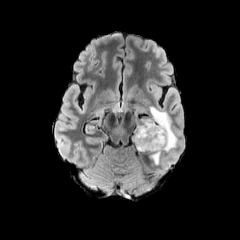
FLAIR magnetic resonance.
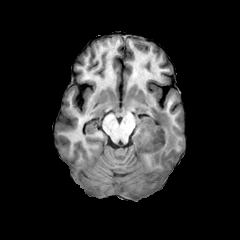
T1-weighted MR image.
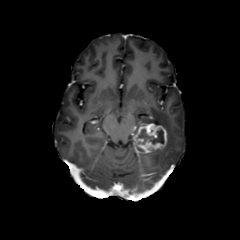
Post-contrast T1-weighted MR.
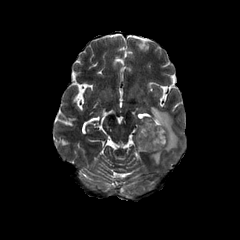
T2-weighted MR image.
Brain
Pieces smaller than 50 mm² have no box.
The enhancing tumor is at bbox(133, 123, 167, 152). The largest peritumoral edema region is at bbox(131, 107, 178, 165). The necrotic tumor core lies within bbox(138, 129, 164, 143).